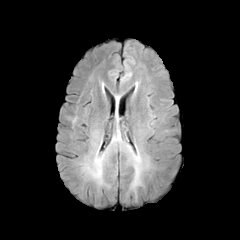
FLAIR magnetic resonance.
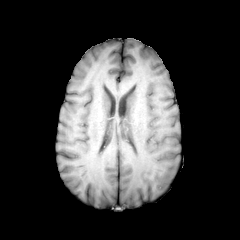
T1-weighted magnetic resonance.
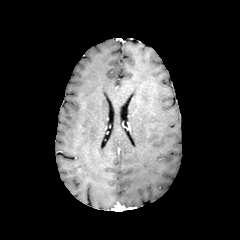
Post-contrast T1-weighted magnetic resonance.
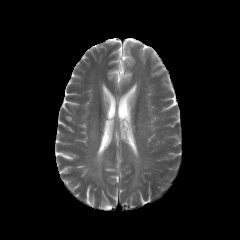
Same slice, T2-weighted MRI.
Head
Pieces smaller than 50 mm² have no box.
{"peritumoral_edema": ["bbox=[127, 146, 147, 189]", "bbox=[91, 156, 103, 180]"]}